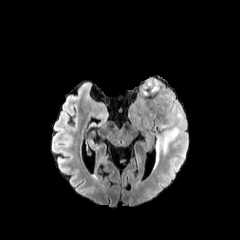
FLAIR MRI.
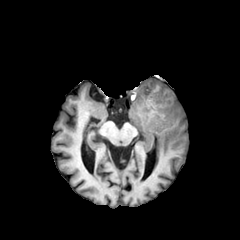
Same slice, T1-weighted MR image.
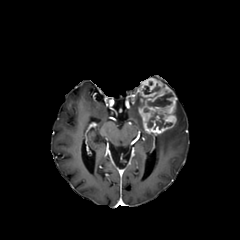
Post-contrast T1-weighted MR image.
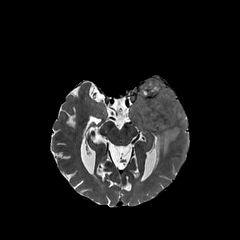
T2-weighted MRI.
Brain; Image size 240x240
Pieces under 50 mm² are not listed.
peritumoral edema: l=136, t=93, r=143, b=106; l=156, t=101, r=186, b=162
enhancing tumor: l=138, t=77, r=176, b=134
necrotic tumor core: l=147, t=93, r=172, b=107; l=143, t=84, r=160, b=94; l=148, t=112, r=157, b=127; l=154, t=114, r=172, b=129